Slice 71 of 155, 240x240 px, Axial plane, Head
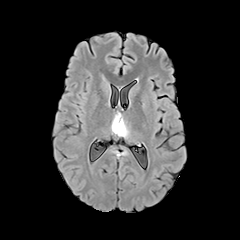
FLAIR magnetic resonance.
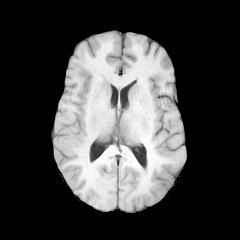
Same slice, T1-weighted MRI.
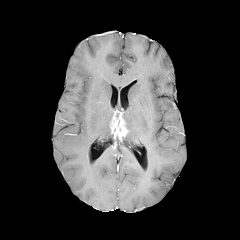
Post-contrast T1-weighted MRI of the same slice.
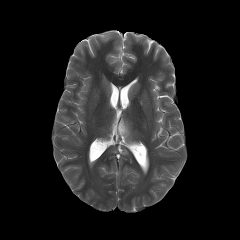
T2-weighted MRI of the same slice.
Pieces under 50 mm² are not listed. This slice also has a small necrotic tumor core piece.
enhancing tumor = (111,113,127,137)
peritumoral edema = (124,120,130,138)